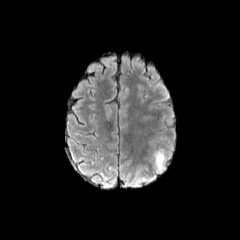
FLAIR magnetic resonance.
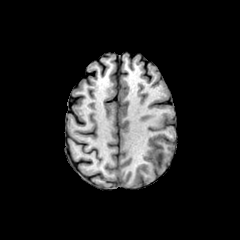
T1-weighted magnetic resonance of the same slice.
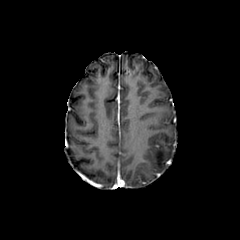
Same slice, post-contrast T1-weighted MR image.
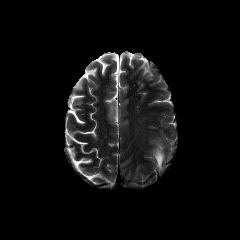
Same slice, T2-weighted MRI.
peritumoral edema — 155, 151, 164, 170